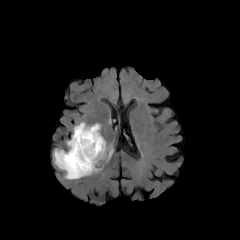
FLAIR magnetic resonance.
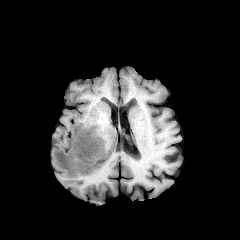
T1-weighted MRI.
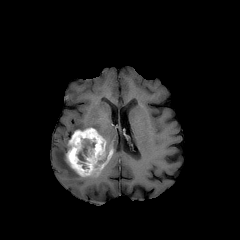
Same slice, post-contrast T1-weighted magnetic resonance.
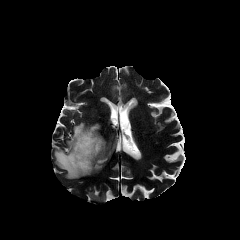
Same slice, T2-weighted MRI.
Brain. 240x240 px.
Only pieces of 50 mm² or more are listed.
peritumoral edema: bounding box <bbox>54, 148, 83, 179</bbox>, <bbox>73, 122, 100, 134</bbox>
necrotic tumor core: bounding box <bbox>76, 137, 96, 171</bbox>
enhancing tumor: bounding box <bbox>66, 127, 107, 176</bbox>